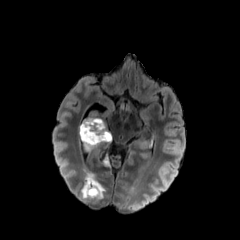
FLAIR MRI.
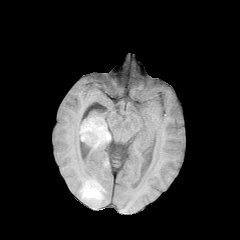
T1-weighted MRI of the same slice.
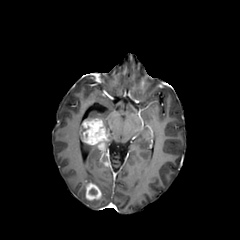
Same slice, post-contrast T1-weighted MR image.
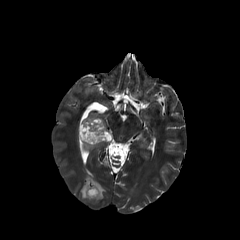
T2-weighted MRI.
Axial view
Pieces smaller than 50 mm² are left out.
Segmented structures:
• enhancing tumor: (left=80, top=118, right=109, bottom=149), (left=103, top=153, right=110, bottom=166), (left=85, top=183, right=101, bottom=200)
• peritumoral edema: (left=80, top=172, right=105, bottom=202), (left=83, top=143, right=97, bottom=151)
• necrotic tumor core: (left=89, top=188, right=97, bottom=195)